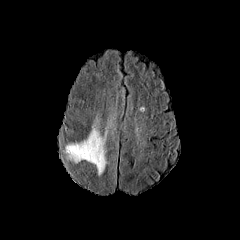
FLAIR MR image.
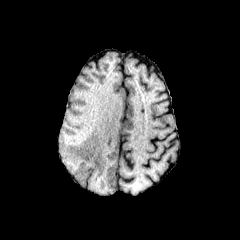
T1-weighted MR.
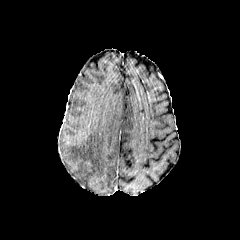
Post-contrast T1-weighted MR image.
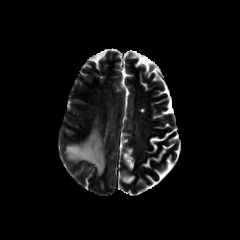
Same slice, T2-weighted MR.
240x240 px
* peritumoral edema: 65 126 107 175